Slice 121/155. Image size 240x240.
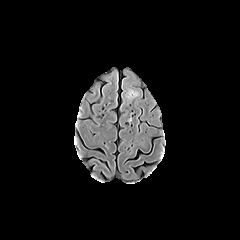
FLAIR magnetic resonance.
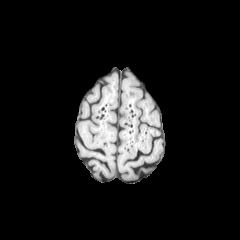
T1-weighted MR.
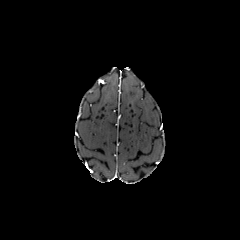
Same slice, post-contrast T1-weighted MR image.
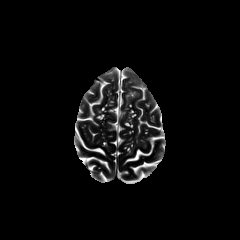
Same slice, T2-weighted MRI.
The peritumoral edema is bounded by {"x1": 128, "y1": 91, "x2": 139, "y2": 97}.